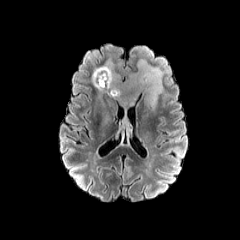
FLAIR magnetic resonance.
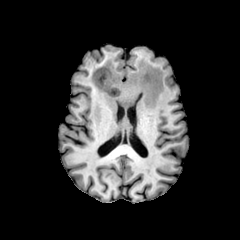
Same slice, T1-weighted MRI.
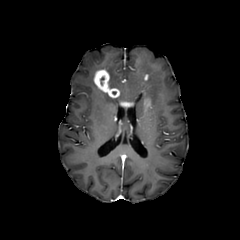
Post-contrast T1-weighted MRI.
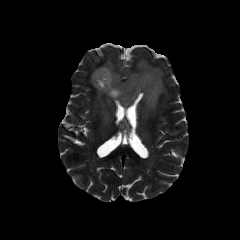
T2-weighted MR image.
Brain. Axial view.
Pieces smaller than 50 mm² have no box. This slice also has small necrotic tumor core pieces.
Findings:
- enhancing tumor: l=93, t=69, r=119, b=97; l=144, t=98, r=151, b=109; l=120, t=102, r=132, b=107
- peritumoral edema: l=92, t=59, r=167, b=110; l=102, t=111, r=109, b=125